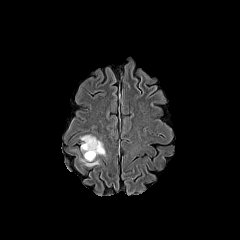
FLAIR MRI.
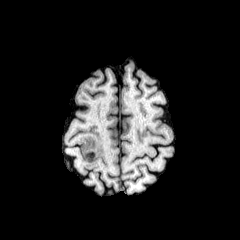
T1-weighted magnetic resonance.
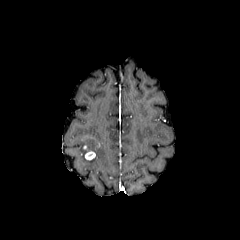
Post-contrast T1-weighted MR image of the same slice.
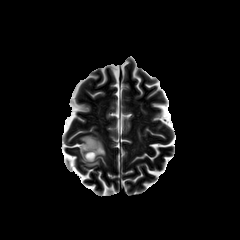
T2-weighted MRI.
Head.
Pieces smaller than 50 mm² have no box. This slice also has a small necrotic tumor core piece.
enhancing_tumor:
  - x1=83, y1=145, x2=95, y2=160
peritumoral_edema:
  - x1=80, y1=135, x2=105, y2=166